FLAIR MRI.
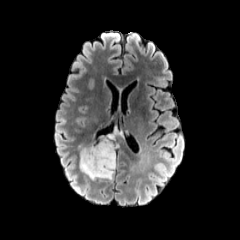
T1-weighted MRI.
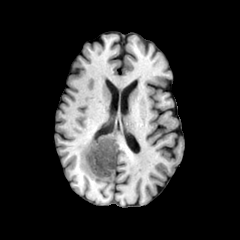
Post-contrast T1-weighted magnetic resonance.
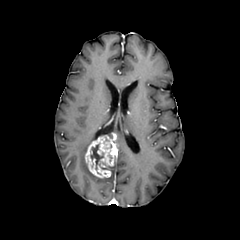
T2-weighted MR.
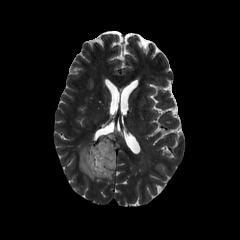
Axial slice
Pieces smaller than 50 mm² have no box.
The enhancing tumor is located at [84, 132, 116, 178]. The 2 largest peritumoral edema regions are located at [80, 146, 97, 179], [104, 163, 116, 180]. The largest necrotic tumor core region lies within [90, 144, 103, 169].